Slice 62 of 155, Brain, 240x240
FLAIR MR image.
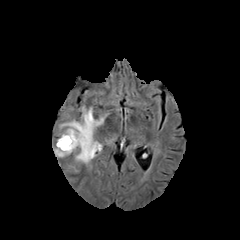
T1-weighted MRI.
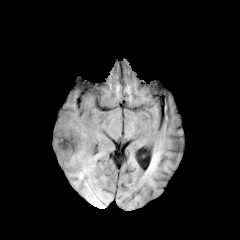
Post-contrast T1-weighted MRI.
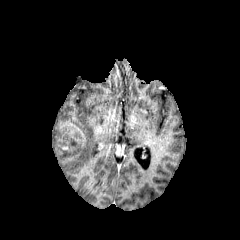
T2-weighted MRI.
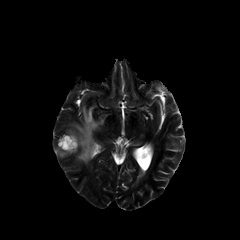
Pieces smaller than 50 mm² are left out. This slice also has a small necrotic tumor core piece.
peritumoral_edema:
  - 54, 106, 103, 163
enhancing_tumor:
  - 58, 130, 79, 150